Slice 57 of 155. Head. 240x240. Image width 240 mm, 1.00 mm slice spacing.
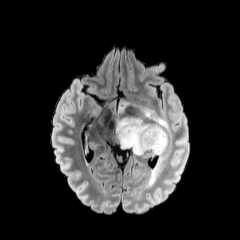
FLAIR MRI.
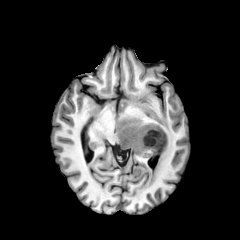
T1-weighted MR image of the same slice.
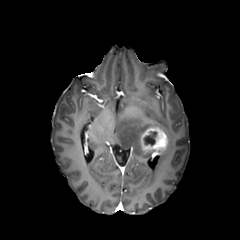
Post-contrast T1-weighted magnetic resonance.
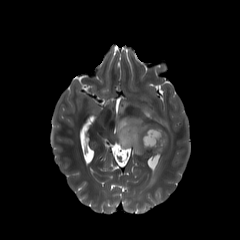
T2-weighted magnetic resonance.
necrotic tumor core: bounding box box(144, 131, 156, 145)
enhancing tumor: bounding box box(140, 127, 167, 155)
peritumoral edema: bounding box box(116, 102, 169, 155); box(148, 152, 164, 185)